FLAIR magnetic resonance.
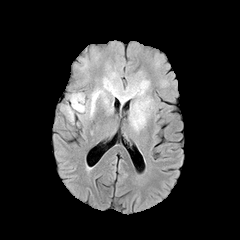
T1-weighted MR.
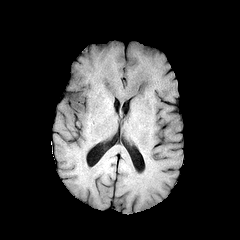
Post-contrast T1-weighted MRI.
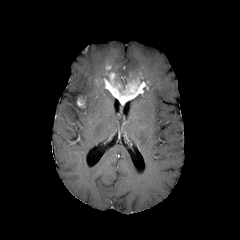
T2-weighted MR.
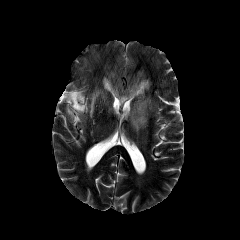
Image size 240x240
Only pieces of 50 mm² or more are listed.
peritumoral_edema:
  - 128:72:150:88
  - 64:105:73:121
  - 107:71:122:83
  - 68:79:109:117
  - 129:89:153:131
enhancing_tumor:
  - 103:72:149:104
  - 76:96:85:108